FLAIR MRI.
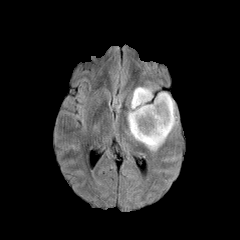
T1-weighted MR.
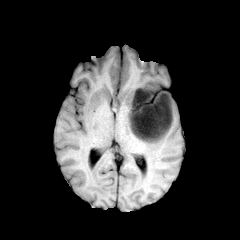
Post-contrast T1-weighted MRI.
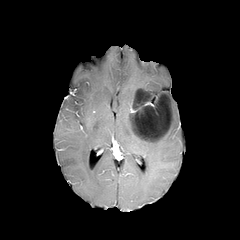
T2-weighted MR image.
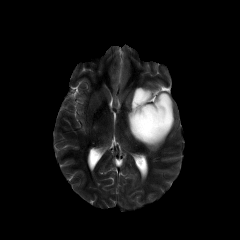
Brain, 240x240
{"necrotic_tumor_core": ["x1=133 y1=91 x2=170 y2=139"], "enhancing_tumor": ["x1=131 y1=89 x2=172 y2=140", "x1=143 y1=91 x2=156 y2=107"], "peritumoral_edema": ["x1=127 y1=87 x2=177 y2=150"]}